Head. Image width 240 mm, 1.00 mm slice spacing. Slice 79 of 155. 240x240.
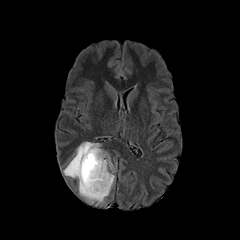
FLAIR MRI.
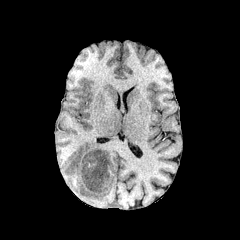
T1-weighted MRI of the same slice.
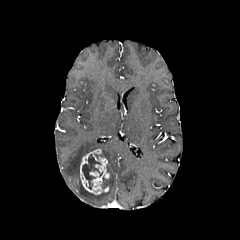
Post-contrast T1-weighted magnetic resonance.
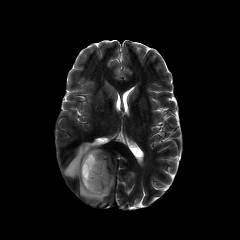
T2-weighted magnetic resonance.
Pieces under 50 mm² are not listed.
* enhancing tumor: l=80, t=149, r=109, b=194
* peritumoral edema: l=63, t=142, r=114, b=204
* necrotic tumor core: l=82, t=154, r=102, b=189